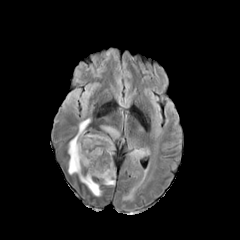
FLAIR MRI.
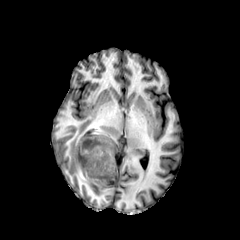
T1-weighted MRI.
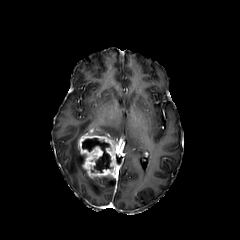
Post-contrast T1-weighted magnetic resonance.
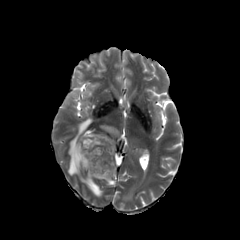
T2-weighted MR.
Head. 240x240 px.
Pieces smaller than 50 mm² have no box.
{"enhancing_tumor": ["[78,135,117,179]"], "peritumoral_edema": ["[134,150,143,157]", "[68,119,102,196]", "[103,177,114,185]", "[102,126,119,137]"], "necrotic_tumor_core": ["[82,138,110,172]"]}